FLAIR magnetic resonance.
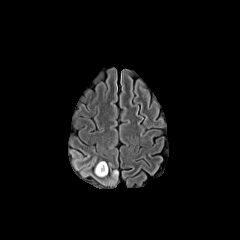
T1-weighted MR image.
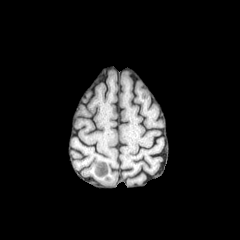
Post-contrast T1-weighted MR image.
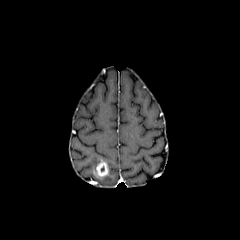
T2-weighted magnetic resonance.
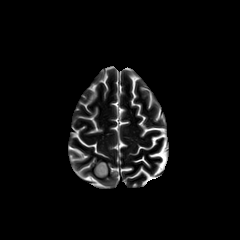
Head. 240x240.
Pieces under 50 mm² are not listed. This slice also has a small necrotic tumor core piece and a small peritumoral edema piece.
The enhancing tumor is located at box=[94, 161, 108, 177].